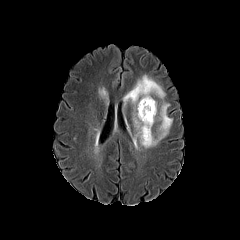
FLAIR MRI.
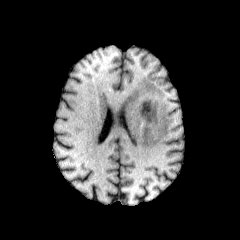
T1-weighted MR image of the same slice.
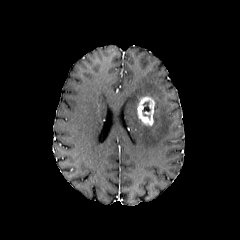
Post-contrast T1-weighted MR image of the same slice.
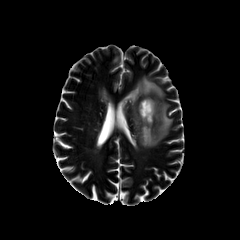
T2-weighted MR.
Head
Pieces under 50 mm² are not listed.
- enhancing tumor: rect(137, 96, 155, 125)
- necrotic tumor core: rect(142, 102, 150, 111)
- peritumoral edema: rect(123, 75, 172, 148)